FLAIR MR image.
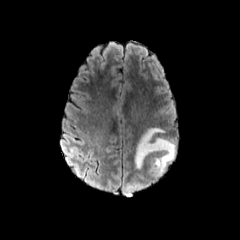
T1-weighted MRI.
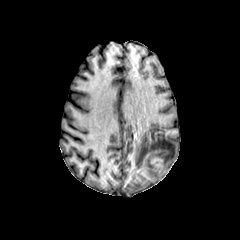
Post-contrast T1-weighted MRI.
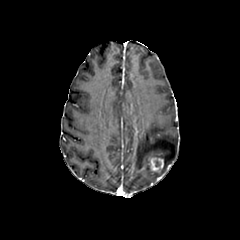
T2-weighted MRI.
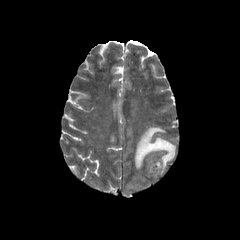
Brain.
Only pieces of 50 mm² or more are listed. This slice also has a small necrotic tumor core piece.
enhancing tumor: x1=148, y1=153, x2=164, y2=174 | peritumoral edema: x1=134, y1=127, x2=175, y2=178